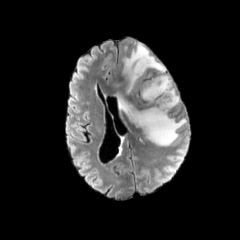
FLAIR MR image.
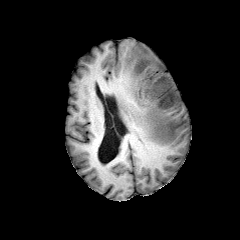
T1-weighted magnetic resonance.
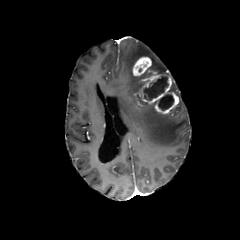
Post-contrast T1-weighted MRI.
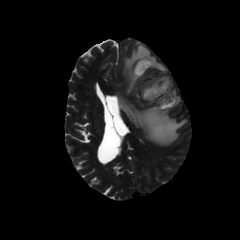
T2-weighted MR of the same slice.
Brain
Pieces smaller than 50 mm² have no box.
The 2 largest peritumoral edema regions are located at <box>123,43,166,93</box>, <box>117,95,186,145</box>. The enhancing tumor appears at <box>132,56,179,114</box>. The 2 largest necrotic tumor core regions are bounded by <box>143,76,168,100</box>, <box>158,94,173,110</box>.